FLAIR MRI.
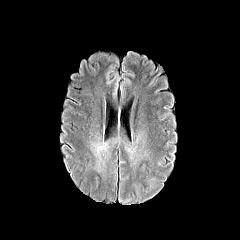
T1-weighted MR image.
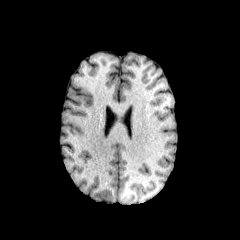
Post-contrast T1-weighted MR image.
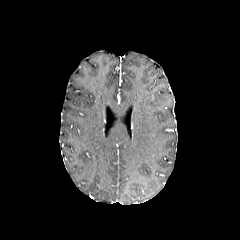
T2-weighted MR image.
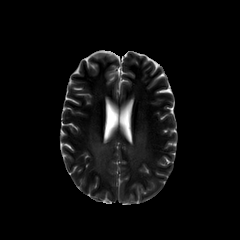
Brain; 240x240 px
peritumoral edema = (89,132,152,181)